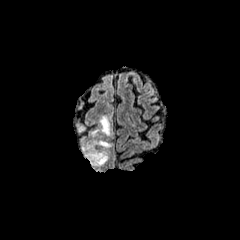
FLAIR MR.
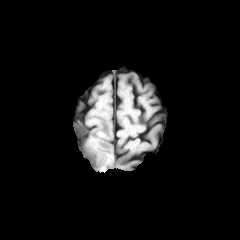
T1-weighted MR image.
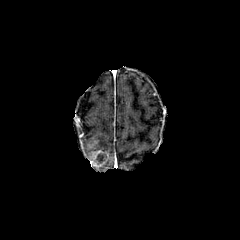
Post-contrast T1-weighted magnetic resonance.
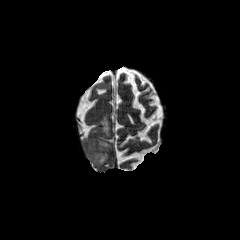
T2-weighted magnetic resonance of the same slice.
Brain
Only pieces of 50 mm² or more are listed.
enhancing tumor: (81,139,109,167) | necrotic tumor core: (96,153,106,162) | peritumoral edema: (100,116,110,135), (97,140,111,150)